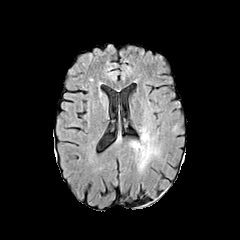
FLAIR MR.
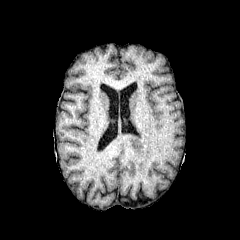
Same slice, T1-weighted MR.
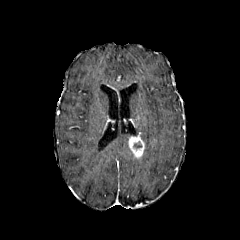
Post-contrast T1-weighted MR of the same slice.
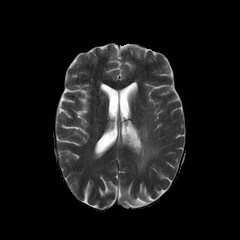
Same slice, T2-weighted MRI.
Axial slice. Brain.
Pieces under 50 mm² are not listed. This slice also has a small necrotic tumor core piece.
enhancing tumor — bbox=[128, 136, 144, 158]
peritumoral edema — bbox=[136, 127, 158, 171]